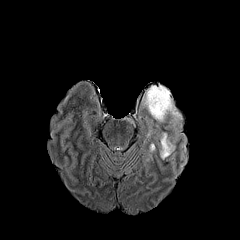
FLAIR MR image.
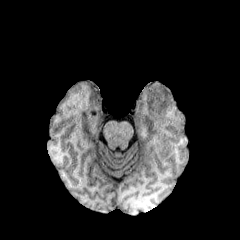
Same slice, T1-weighted MR.
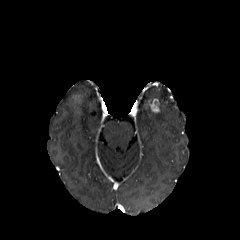
Same slice, post-contrast T1-weighted magnetic resonance.
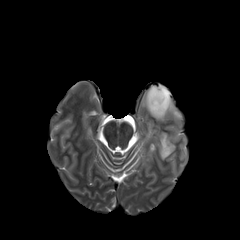
Same slice, T2-weighted MRI.
Axial plane; Brain; Image size 240x240
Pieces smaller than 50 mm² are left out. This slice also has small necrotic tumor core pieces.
enhancing_tumor:
  - (x1=148, y1=98, x2=159, y2=112)
peritumoral_edema:
  - (x1=142, y1=85, x2=181, y2=121)
  - (x1=160, y1=132, x2=175, y2=159)